Image width 240 mm, 1.00 mm slice spacing | Slice 86 of 155
FLAIR MR image.
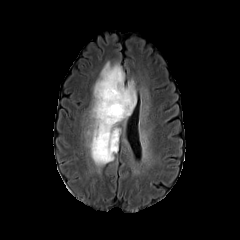
T1-weighted magnetic resonance.
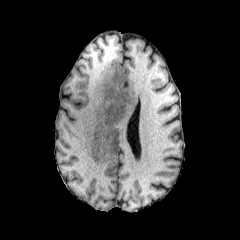
Post-contrast T1-weighted magnetic resonance.
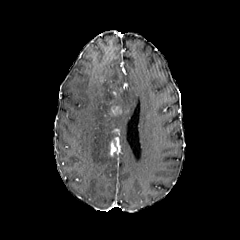
T2-weighted MR image.
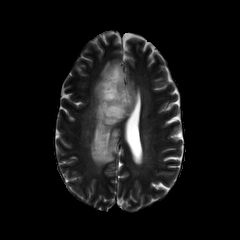
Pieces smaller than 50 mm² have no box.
The 2 largest enhancing tumor regions are bounded by (110,136,118,155), (109,105,122,116). The largest peritumoral edema region lies within (87,61,136,166).